FLAIR MR.
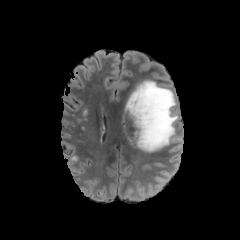
T1-weighted magnetic resonance.
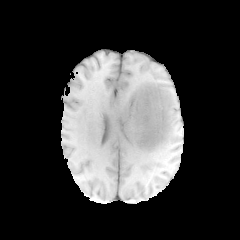
Post-contrast T1-weighted MR image.
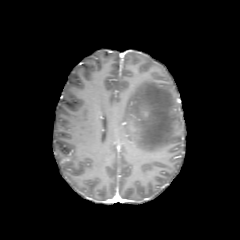
T2-weighted MRI.
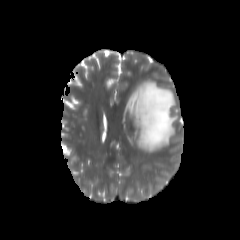
Head
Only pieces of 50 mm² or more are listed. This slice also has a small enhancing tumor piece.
peritumoral edema — left=126, top=80, right=177, bottom=152